FLAIR MR.
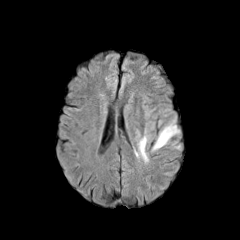
T1-weighted magnetic resonance.
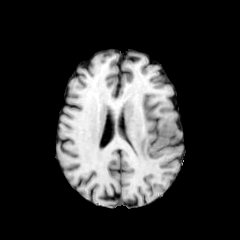
Post-contrast T1-weighted MR image.
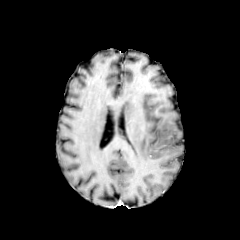
T2-weighted magnetic resonance.
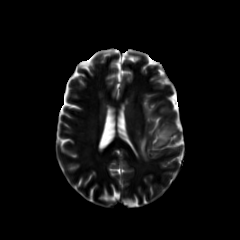
240x240
<segmentation>
  <peritumoral_edema>x1=139 y1=137 x2=148 y2=161, x1=155 y1=127 x2=174 y2=146</peritumoral_edema>
</segmentation>